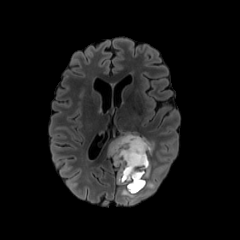
FLAIR MRI.
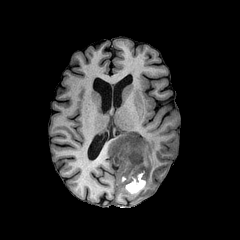
Same slice, T1-weighted MR image.
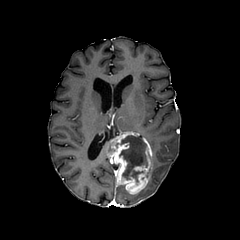
Same slice, post-contrast T1-weighted MR.
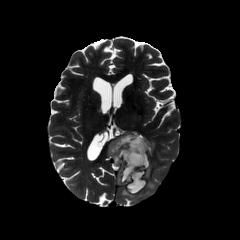
T2-weighted MR image.
Brain
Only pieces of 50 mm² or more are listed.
{"necrotic_tumor_core": ["box(119, 135, 147, 184)"], "enhancing_tumor": ["box(108, 132, 152, 194)"], "peritumoral_edema": ["box(121, 188, 135, 197)", "box(145, 179, 156, 189)"]}